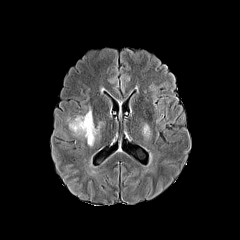
FLAIR MR image.
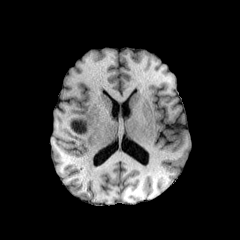
T1-weighted MRI of the same slice.
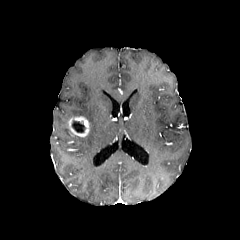
Post-contrast T1-weighted MR of the same slice.
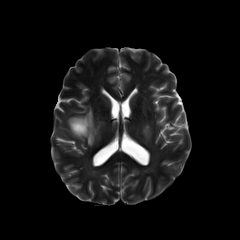
T2-weighted MRI.
Axial slice
peritumoral_edema:
  - 143, 124, 150, 138
  - 84, 108, 99, 146
necrotic_tumor_core:
  - 72, 121, 85, 132
enhancing_tumor:
  - 68, 116, 89, 137